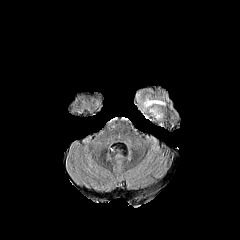
FLAIR MRI.
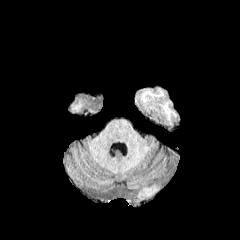
T1-weighted magnetic resonance.
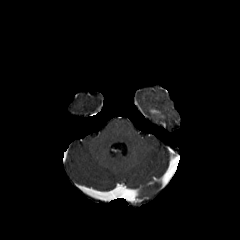
Post-contrast T1-weighted magnetic resonance.
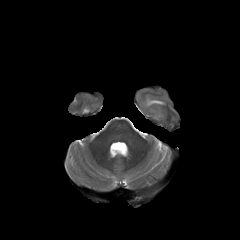
T2-weighted MRI of the same slice.
240x240. Brain. Axial plane.
<segmentation>
  <enhancing_tumor>l=150, t=109, r=162, b=118</enhancing_tumor>
  <peritumoral_edema>l=136, t=88, r=169, b=124</peritumoral_edema>
</segmentation>